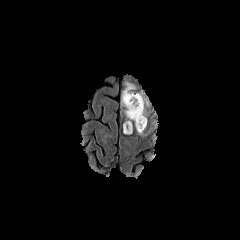
FLAIR magnetic resonance.
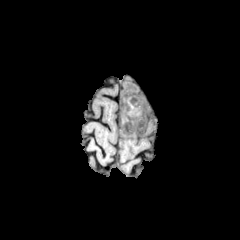
T1-weighted MR image.
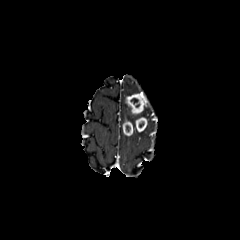
Post-contrast T1-weighted MR.
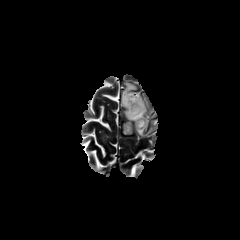
T2-weighted magnetic resonance of the same slice.
Axial slice | Head | 240x240
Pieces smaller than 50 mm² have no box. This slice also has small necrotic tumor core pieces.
The largest peritumoral edema region is located at bbox(121, 81, 146, 127). 3 enhancing tumor regions are located at bbox(123, 120, 133, 135); bbox(125, 92, 148, 114); bbox(135, 117, 147, 132).